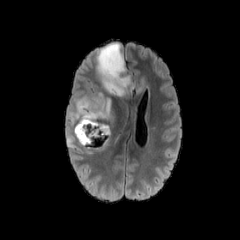
FLAIR MR.
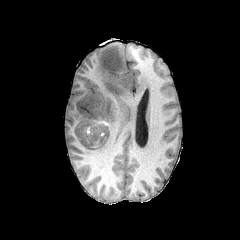
T1-weighted MRI.
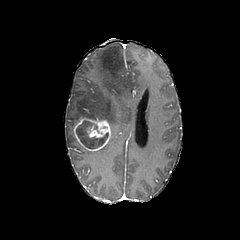
Post-contrast T1-weighted MR image.
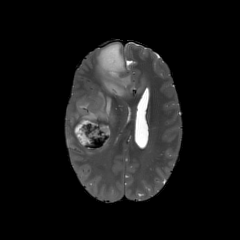
T2-weighted magnetic resonance.
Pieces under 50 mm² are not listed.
• peritumoral edema: box=[64, 42, 148, 154]
• enhancing tumor: box=[73, 119, 111, 151]
• necrotic tumor core: box=[76, 121, 108, 148]